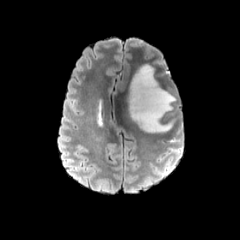
FLAIR MRI.
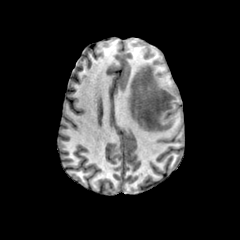
T1-weighted MR.
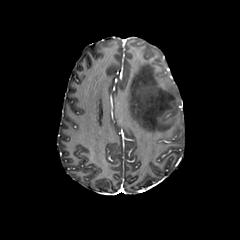
Post-contrast T1-weighted magnetic resonance.
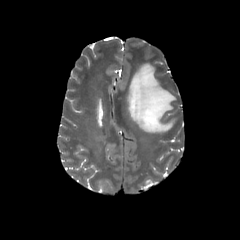
T2-weighted MR.
Axial slice
The peritumoral edema appears at rect(128, 64, 175, 132).